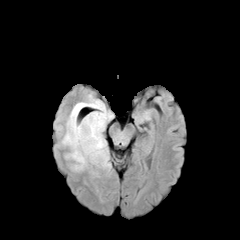
FLAIR MR.
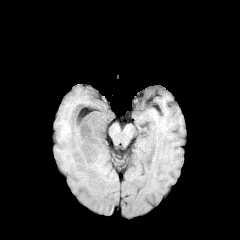
T1-weighted MRI.
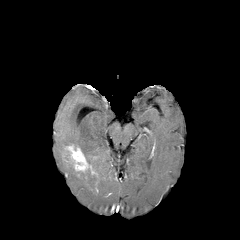
Post-contrast T1-weighted MRI.
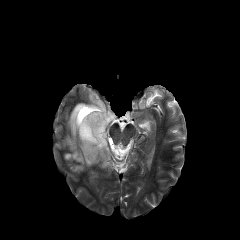
T2-weighted magnetic resonance.
240x240 px | Brain
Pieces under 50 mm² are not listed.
{
  "peritumoral_edema": [
    "62 93 113 171",
    "64 152 81 172"
  ],
  "enhancing_tumor": [
    "66 145 94 173"
  ]
}